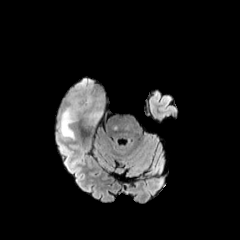
FLAIR magnetic resonance.
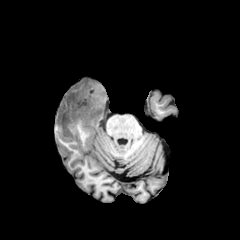
T1-weighted MR of the same slice.
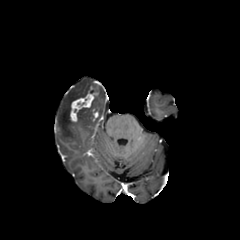
Post-contrast T1-weighted MRI of the same slice.
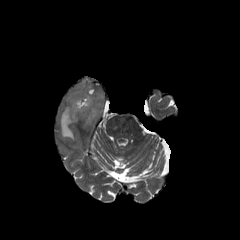
T2-weighted magnetic resonance.
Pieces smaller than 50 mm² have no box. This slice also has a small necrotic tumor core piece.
2 enhancing tumor regions appear at 70 87 97 122, 91 109 98 120. The peritumoral edema appears at 59 79 105 139.